Image width 240 mm. 240x240. Slice 96/155.
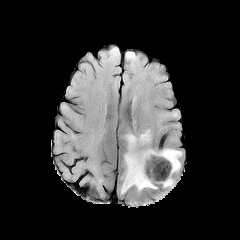
FLAIR MR.
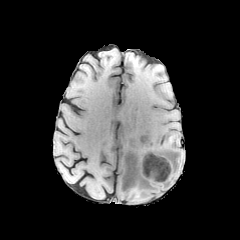
T1-weighted magnetic resonance of the same slice.
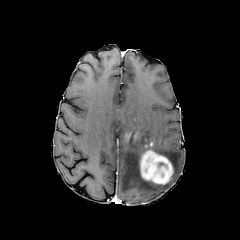
Post-contrast T1-weighted magnetic resonance of the same slice.
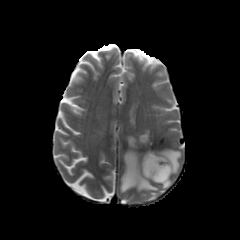
T2-weighted MR.
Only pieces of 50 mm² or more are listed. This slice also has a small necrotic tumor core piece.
- peritumoral edema: bbox=[121, 130, 157, 193]; bbox=[154, 148, 181, 174]; bbox=[163, 176, 173, 188]
- enhancing tumor: bbox=[140, 150, 173, 184]